FLAIR MR image.
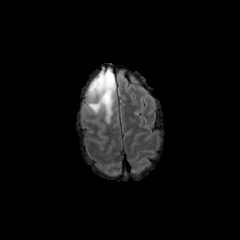
T1-weighted MR image.
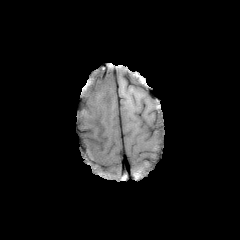
Post-contrast T1-weighted magnetic resonance.
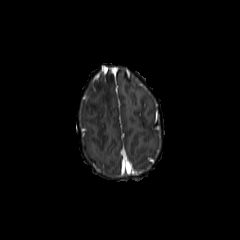
T2-weighted MR.
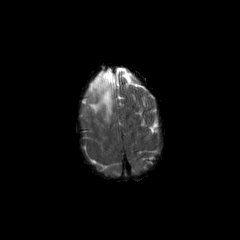
Brain
Annotated regions:
• peritumoral edema: [x1=86, y1=68, x2=115, y2=123]